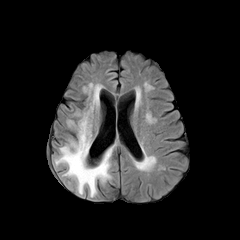
FLAIR MR.
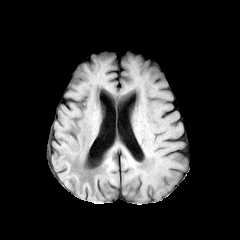
T1-weighted MR image of the same slice.
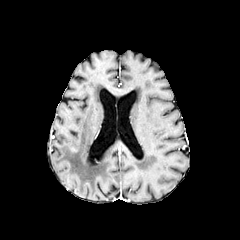
Post-contrast T1-weighted MR.
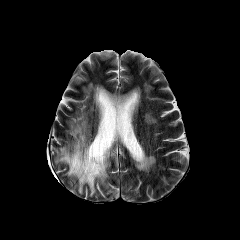
T2-weighted MR of the same slice.
Axial view. Image size 240x240.
peritumoral edema: bounding box box(54, 83, 115, 196)